FLAIR MRI.
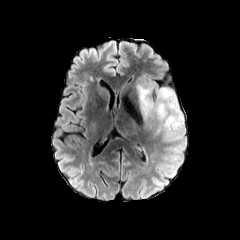
T1-weighted MRI.
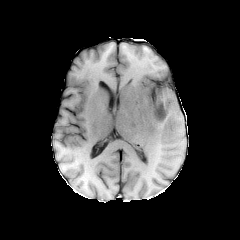
Post-contrast T1-weighted MR image.
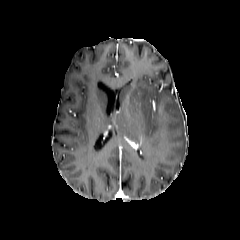
T2-weighted MRI.
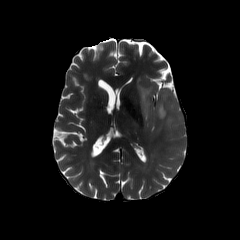
Axial plane, 240x240, Brain
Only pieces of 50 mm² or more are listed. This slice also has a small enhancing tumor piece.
The largest peritumoral edema region is bounded by {"x1": 137, "y1": 76, "x2": 183, "y2": 132}.